240x240 px. Slice 96 of 155.
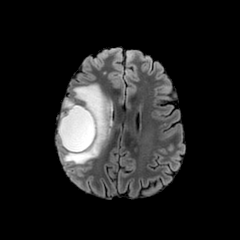
FLAIR magnetic resonance.
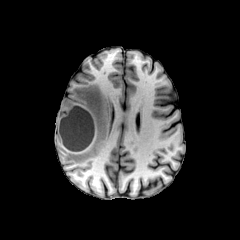
T1-weighted magnetic resonance.
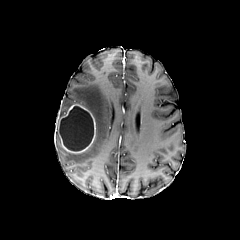
Post-contrast T1-weighted MR image of the same slice.
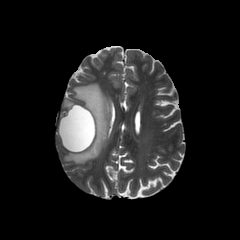
Same slice, T2-weighted MR image.
The necrotic tumor core is located at [59,106,93,151]. The enhancing tumor is at [58,104,96,153]. 2 peritumoral edema regions are located at [56,84,112,164], [60,98,75,117].